Head; Axial slice
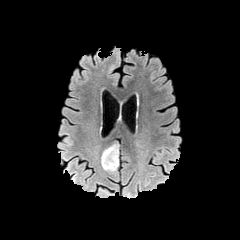
FLAIR magnetic resonance.
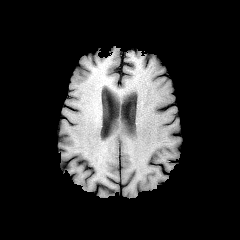
T1-weighted MR.
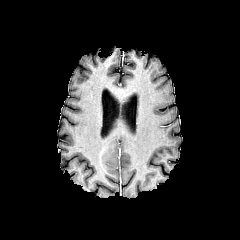
Post-contrast T1-weighted MR.
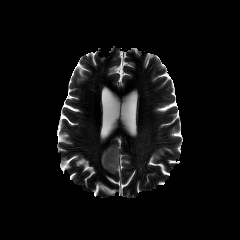
T2-weighted MR.
The peritumoral edema is at <bbox>101, 144, 118, 172</bbox>.